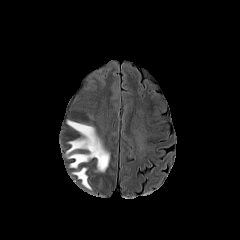
FLAIR magnetic resonance.
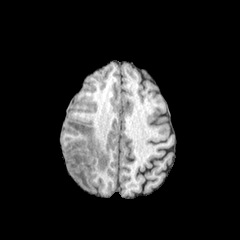
T1-weighted MRI of the same slice.
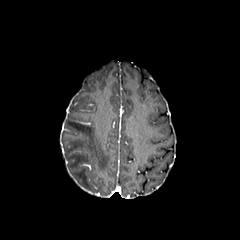
Post-contrast T1-weighted magnetic resonance of the same slice.
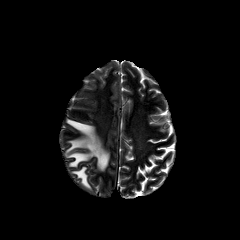
T2-weighted magnetic resonance of the same slice.
Axial plane; Head
<segmentation>
  <peritumoral_edema>{"x1": 72, "y1": 167, "x2": 91, "y2": 190}, {"x1": 66, "y1": 119, "x2": 109, "y2": 172}</peritumoral_edema>
</segmentation>